FLAIR MR image.
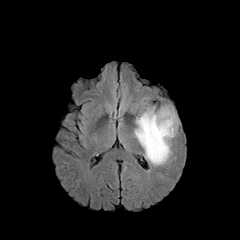
T1-weighted magnetic resonance.
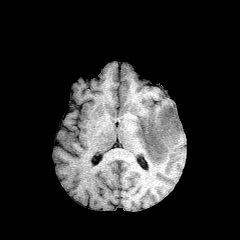
Post-contrast T1-weighted MRI.
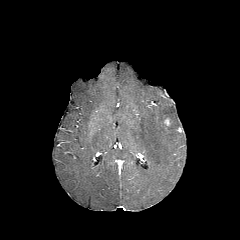
T2-weighted magnetic resonance.
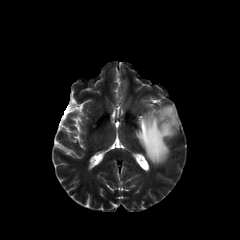
240x240
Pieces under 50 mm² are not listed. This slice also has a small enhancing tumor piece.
peritumoral edema at 134, 105, 179, 165